FLAIR MR image.
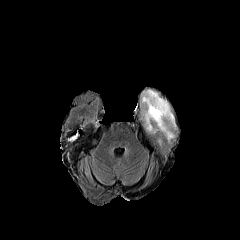
T1-weighted MR.
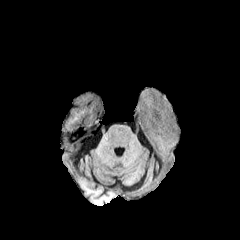
Post-contrast T1-weighted magnetic resonance.
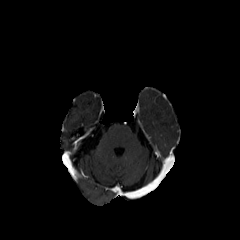
T2-weighted magnetic resonance.
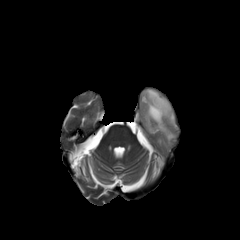
Axial slice
Findings:
* peritumoral edema: (142, 89, 175, 141)